Axial slice
FLAIR MRI.
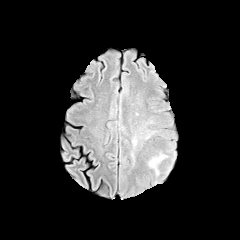
T1-weighted MRI.
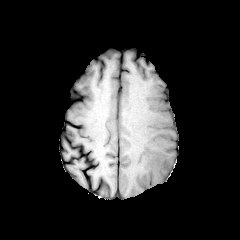
Post-contrast T1-weighted MRI.
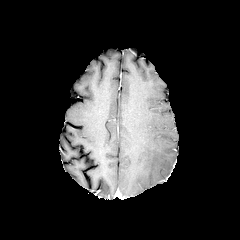
T2-weighted MR image.
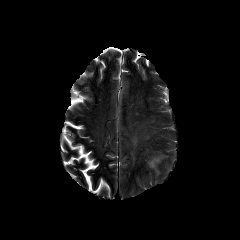
<segmentation>
  <peritumoral_edema>region(131, 140, 138, 161); region(148, 153, 166, 175)</peritumoral_edema>
</segmentation>